Head. 240x240. Image width 240 mm, 1.00 mm slice spacing.
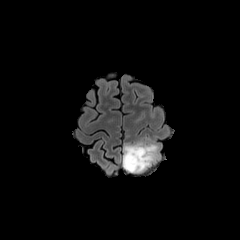
FLAIR MR.
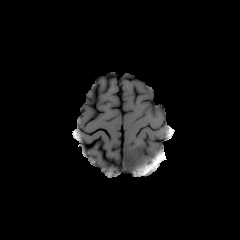
T1-weighted MRI.
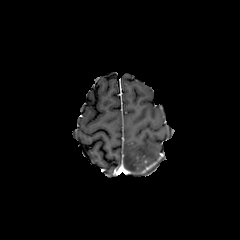
Post-contrast T1-weighted MRI of the same slice.
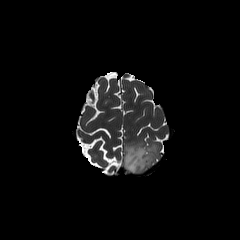
T2-weighted magnetic resonance.
peritumoral edema: 123:141:159:173